Slice index 105. Head. 240x240 px.
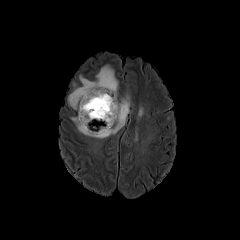
FLAIR MRI.
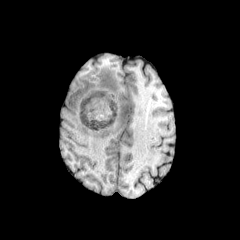
T1-weighted MR image.
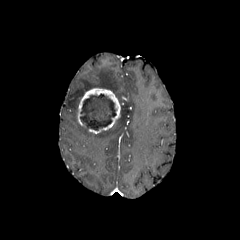
Post-contrast T1-weighted MR.
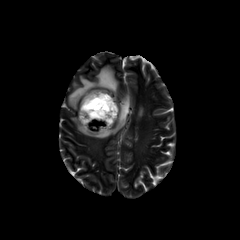
Same slice, T2-weighted MR.
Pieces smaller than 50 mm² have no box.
<segmentation>
  <peritumoral_edema>68:65:118:109, 71:95:130:138</peritumoral_edema>
  <enhancing_tumor>77:88:122:133</enhancing_tumor>
  <necrotic_tumor_core>80:94:116:130</necrotic_tumor_core>
</segmentation>